Slice index 69 | Brain | Axial view
FLAIR MR image.
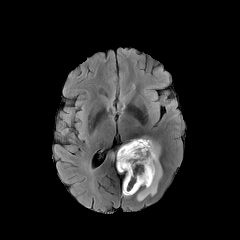
T1-weighted MR image.
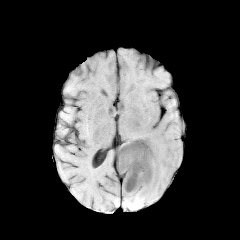
Post-contrast T1-weighted MRI.
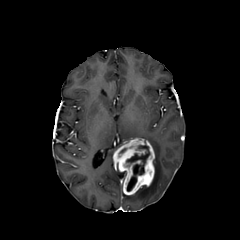
T2-weighted magnetic resonance.
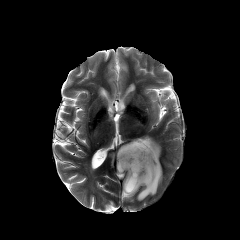
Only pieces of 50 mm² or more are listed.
* enhancing tumor: box=[113, 138, 154, 195]
* peritumoral edema: box=[137, 138, 162, 201]
* necrotic tumor core: box=[126, 145, 149, 191]